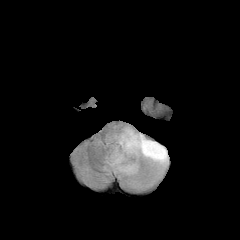
FLAIR MRI.
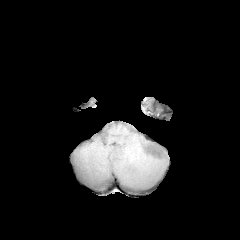
Same slice, T1-weighted MR.
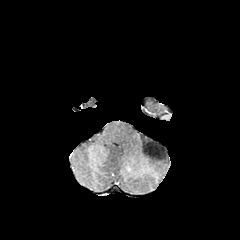
Post-contrast T1-weighted MR image.
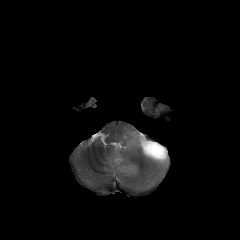
T2-weighted magnetic resonance.
Brain; 240x240; Axial slice
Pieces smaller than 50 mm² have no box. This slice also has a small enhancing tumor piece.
Segmented structures:
• peritumoral edema: 104:126:168:189